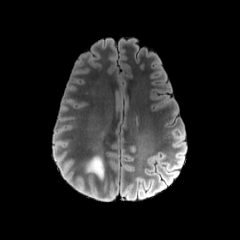
FLAIR magnetic resonance.
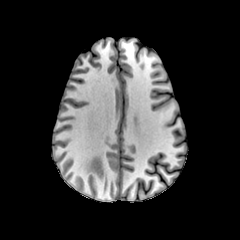
T1-weighted MRI.
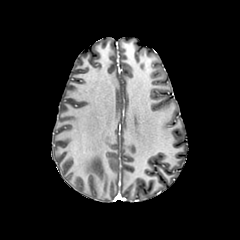
Post-contrast T1-weighted magnetic resonance.
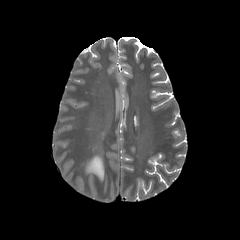
Same slice, T2-weighted MR.
Axial plane.
<segmentation>
  <peritumoral_edema>(left=87, top=156, right=103, bottom=178)</peritumoral_edema>
</segmentation>